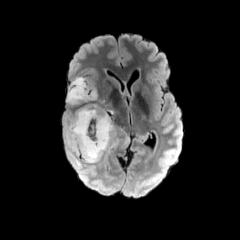
FLAIR magnetic resonance.
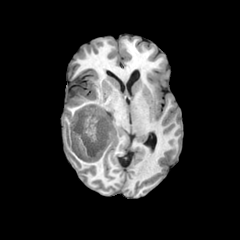
T1-weighted MR image.
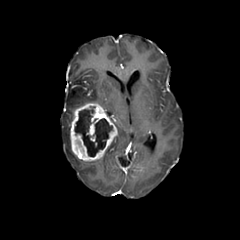
Post-contrast T1-weighted MR.
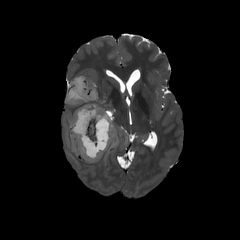
T2-weighted magnetic resonance of the same slice.
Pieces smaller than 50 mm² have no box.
The 2 largest peritumoral edema regions appear at <box>67,77,97,104</box>, <box>66,125,70,149</box>. The largest enhancing tumor region lies within <box>70,103,117,161</box>. The largest necrotic tumor core region is bounded by <box>74,109,112,156</box>.